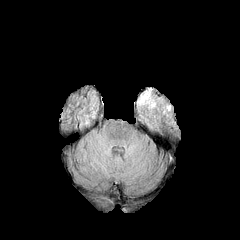
FLAIR magnetic resonance.
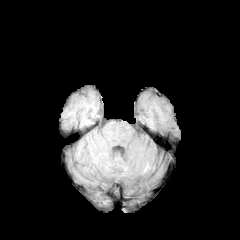
Same slice, T1-weighted magnetic resonance.
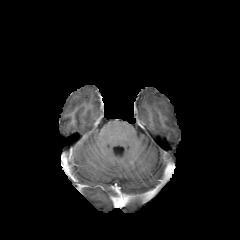
Post-contrast T1-weighted MR.
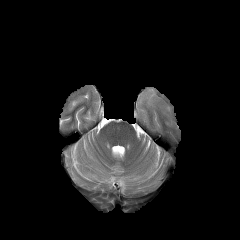
T2-weighted MR image.
Axial plane
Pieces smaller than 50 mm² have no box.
* peritumoral edema: bbox(140, 89, 156, 107)